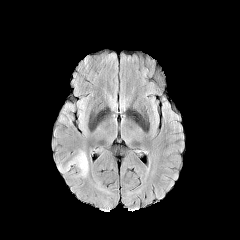
FLAIR MR image.
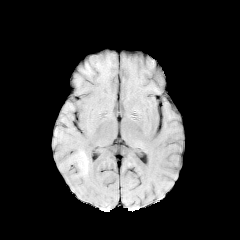
T1-weighted MR image.
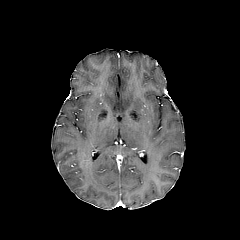
Same slice, post-contrast T1-weighted MRI.
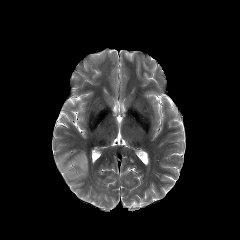
T2-weighted MRI.
Head.
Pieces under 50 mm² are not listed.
<segmentation>
  <peritumoral_edema>57:150:88:177</peritumoral_edema>
</segmentation>